Brain
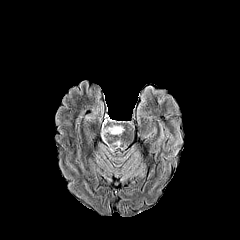
FLAIR MRI.
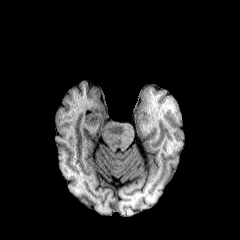
T1-weighted magnetic resonance.
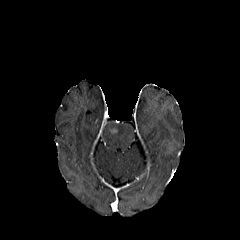
Post-contrast T1-weighted magnetic resonance of the same slice.
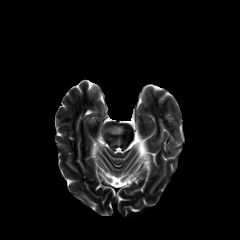
T2-weighted MRI.
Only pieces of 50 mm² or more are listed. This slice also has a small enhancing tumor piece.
Findings:
- peritumoral edema: rect(102, 125, 124, 139); rect(85, 109, 97, 120)